Head, Slice index 70
FLAIR MRI.
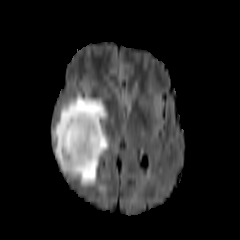
T1-weighted MRI.
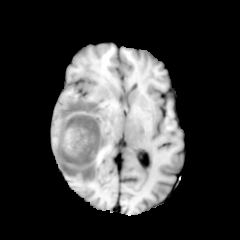
Post-contrast T1-weighted MR.
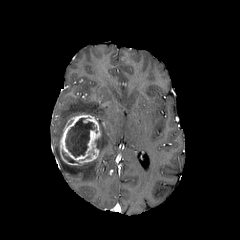
T2-weighted MRI.
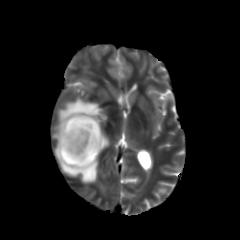
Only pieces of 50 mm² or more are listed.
2 peritumoral edema regions appear at (52, 95, 108, 156), (59, 125, 109, 185). The 2 largest necrotic tumor core regions are located at (65, 118, 96, 157), (62, 150, 78, 163). The enhancing tumor is at (59, 113, 100, 165).